Head | Axial view
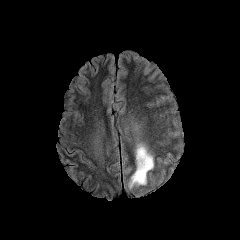
FLAIR magnetic resonance.
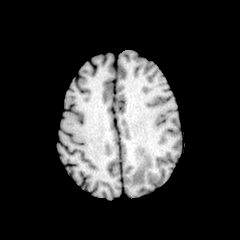
Same slice, T1-weighted MRI.
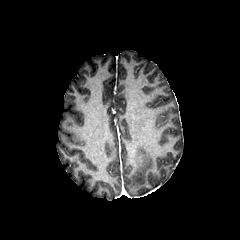
Post-contrast T1-weighted MR image.
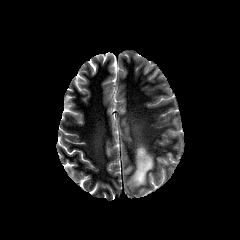
T2-weighted MR image of the same slice.
The peritumoral edema is located at left=129, top=144, right=153, bottom=187.